FLAIR MRI.
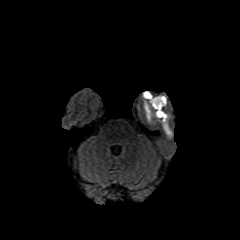
T1-weighted MRI.
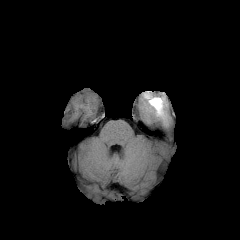
Post-contrast T1-weighted MRI.
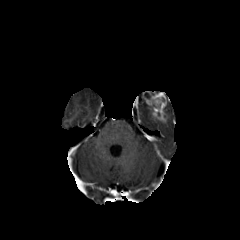
T2-weighted magnetic resonance.
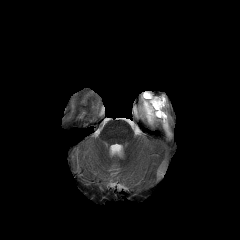
Image size 240x240
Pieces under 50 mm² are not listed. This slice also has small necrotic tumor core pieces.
The enhancing tumor is at rect(142, 91, 166, 121). The peritumoral edema appears at rect(142, 98, 172, 138).